FLAIR MR image.
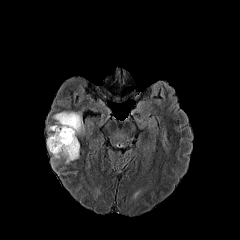
T1-weighted MRI.
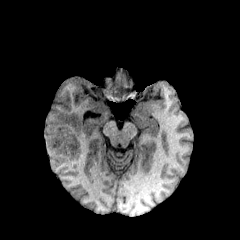
Post-contrast T1-weighted magnetic resonance.
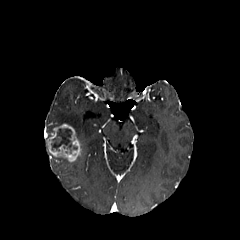
T2-weighted MR image.
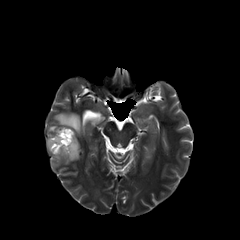
Head
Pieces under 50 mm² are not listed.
• necrotic tumor core: (x1=51, y1=128, x2=77, y2=153)
• peritumoral edema: (x1=48, y1=112, x2=84, y2=135)
• enhancing tumor: (x1=47, y1=123, x2=81, y2=161)